Brain; Axial plane
FLAIR magnetic resonance.
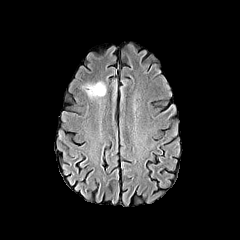
T1-weighted magnetic resonance.
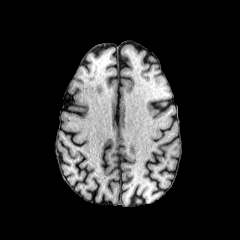
Post-contrast T1-weighted magnetic resonance.
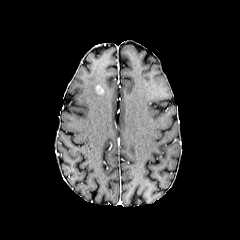
T2-weighted MR.
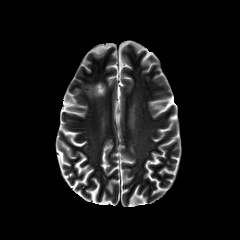
enhancing_tumor:
  - <bbox>95, 85, 103, 94</bbox>
peritumoral_edema:
  - <bbox>83, 82, 105, 98</bbox>